FLAIR MR.
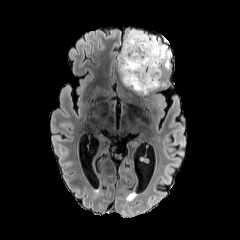
T1-weighted magnetic resonance.
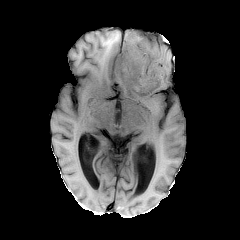
Post-contrast T1-weighted MR image.
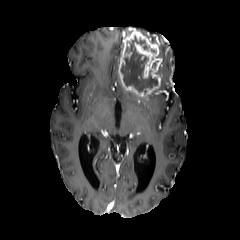
T2-weighted MRI.
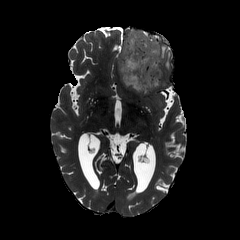
Axial slice, Image size 240x240
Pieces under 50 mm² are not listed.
peritumoral edema — (left=159, top=43, right=170, bottom=70)
necrotic tumor core — (left=120, top=36, right=157, bottom=93)
enhancing tumor — (left=118, top=30, right=162, bottom=96)